FLAIR MR image.
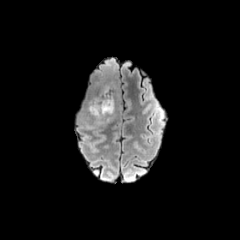
T1-weighted magnetic resonance.
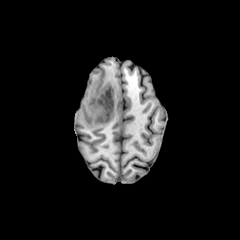
Post-contrast T1-weighted magnetic resonance.
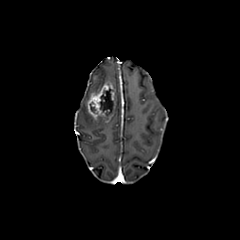
T2-weighted MRI.
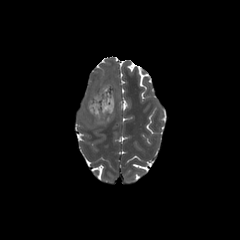
240x240 px.
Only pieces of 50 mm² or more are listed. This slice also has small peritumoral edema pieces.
necrotic_tumor_core:
  - x1=100, y1=88, x2=113, y2=116
enhancing_tumor:
  - x1=86, y1=82, x2=115, y2=122